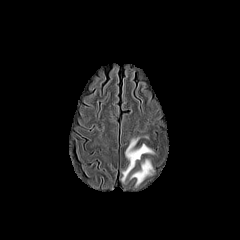
FLAIR MRI.
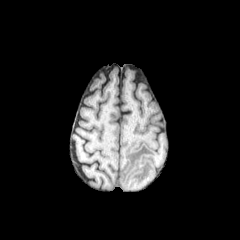
T1-weighted magnetic resonance of the same slice.
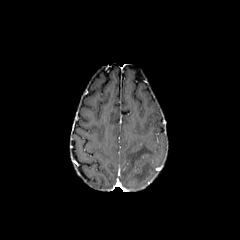
Same slice, post-contrast T1-weighted MR.
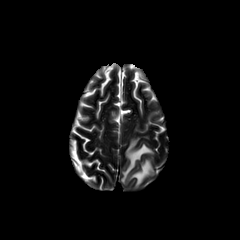
T2-weighted MR.
240x240 px. Axial slice.
2 peritumoral edema regions are bounded by 122 138 153 181, 130 159 152 185.